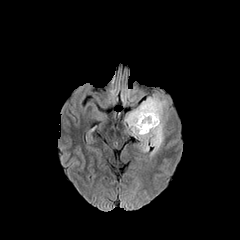
FLAIR MRI.
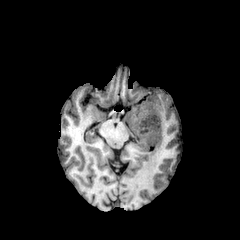
T1-weighted MR.
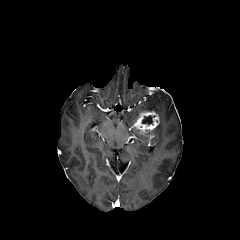
Post-contrast T1-weighted MRI.
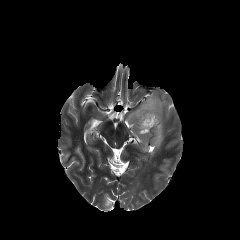
T2-weighted magnetic resonance of the same slice.
Axial view. Brain.
peritumoral edema at (125,95,167,156), (132,127,151,151)
necrotic tumor core at (142,115,154,124)
enhancing tumor at (134,111,159,134)